Slice index 59, Image size 240x240
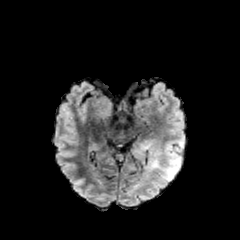
FLAIR MR image.
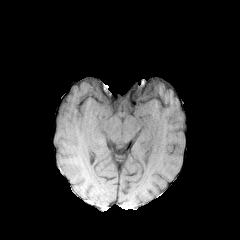
T1-weighted MRI of the same slice.
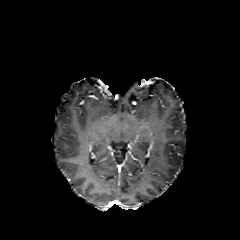
Post-contrast T1-weighted MRI.
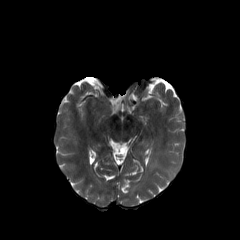
T2-weighted MR image of the same slice.
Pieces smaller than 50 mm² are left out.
peritumoral edema: 152, 133, 186, 179